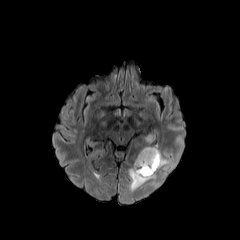
FLAIR MRI.
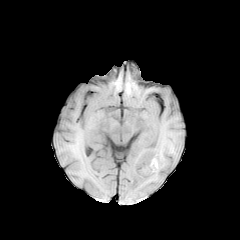
Same slice, T1-weighted MR image.
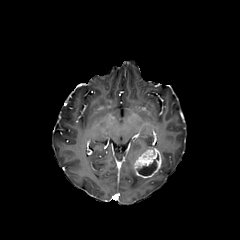
Post-contrast T1-weighted MR of the same slice.
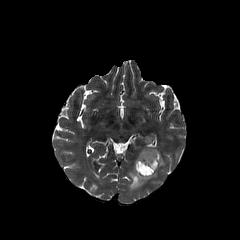
Same slice, T2-weighted MR image.
Axial slice
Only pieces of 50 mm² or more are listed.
{"necrotic_tumor_core": ["<bbox>137, 154, 158, 175</bbox>"], "peritumoral_edema": ["<bbox>128, 151, 174, 191</bbox>", "<bbox>136, 147, 158, 159</bbox>"], "enhancing_tumor": ["<bbox>134, 148, 161, 178</bbox>"]}